Slice 54 of 155, Brain
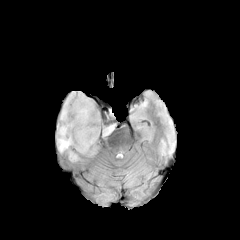
FLAIR magnetic resonance.
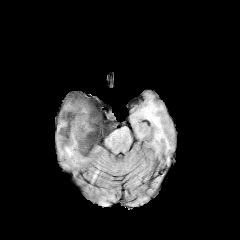
T1-weighted MRI of the same slice.
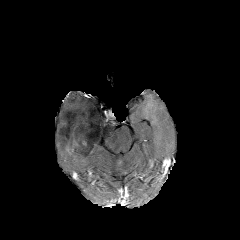
Post-contrast T1-weighted magnetic resonance.
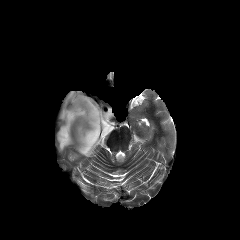
T2-weighted magnetic resonance of the same slice.
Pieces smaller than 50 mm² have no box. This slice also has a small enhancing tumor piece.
Findings:
• peritumoral edema: box(57, 91, 115, 156); box(69, 151, 78, 160)